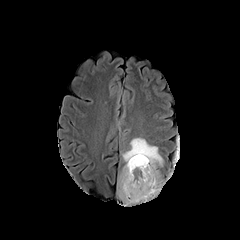
FLAIR MR.
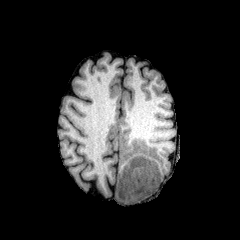
T1-weighted MR image.
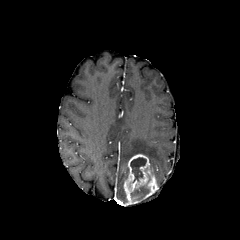
Post-contrast T1-weighted MR.
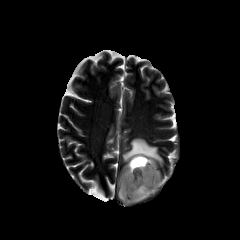
T2-weighted MRI.
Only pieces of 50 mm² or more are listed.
The 2 largest necrotic tumor core regions appear at l=130, t=157, r=146, b=182; l=131, t=186, r=149, b=198. The largest enhancing tumor region is bounded by l=123, t=154, r=159, b=205. 2 peritumoral edema regions are located at l=117, t=172, r=126, b=200; l=122, t=138, r=163, b=187.